Slice 66/155, Axial view, Image width 240 mm, 1.00 mm slice spacing
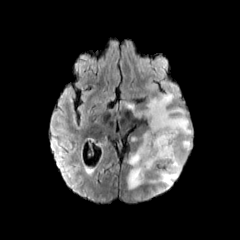
FLAIR MRI.
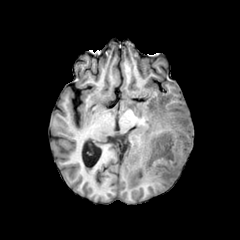
T1-weighted magnetic resonance.
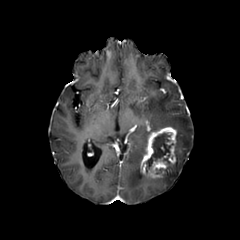
Same slice, post-contrast T1-weighted MR.
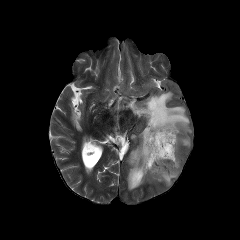
T2-weighted MR image.
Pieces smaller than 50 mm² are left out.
Findings:
- peritumoral edema: rect(125, 93, 192, 192)
- enhancing tumor: rect(139, 126, 177, 179)
- necrotic tumor core: rect(145, 132, 173, 173)